Axial view
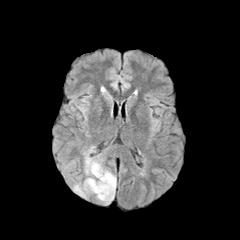
FLAIR MR image.
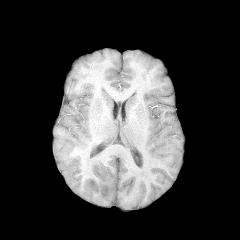
T1-weighted MR.
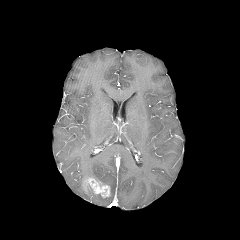
Post-contrast T1-weighted magnetic resonance.
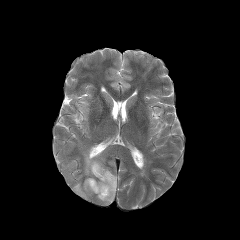
T2-weighted magnetic resonance.
Annotated regions:
- enhancing tumor: 84:178:110:197
- peritumoral edema: 72:146:116:204